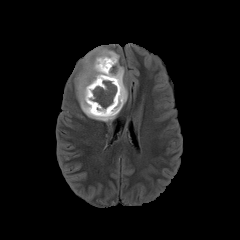
FLAIR MR image.
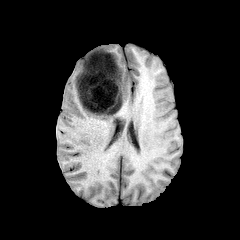
T1-weighted MRI.
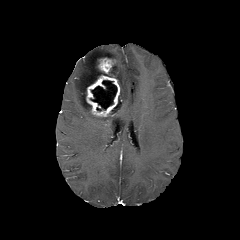
Post-contrast T1-weighted MRI.
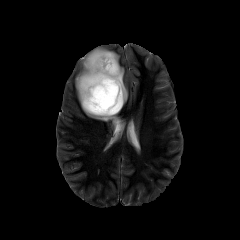
T2-weighted magnetic resonance.
Axial slice
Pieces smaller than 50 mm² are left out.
enhancing tumor at <box>86,57,120,117</box>
peritumoral edema at <box>75,46,128,122</box>
necrotic tumor core at <box>111,96,121,114</box>, <box>90,80,117,109</box>